FLAIR MR.
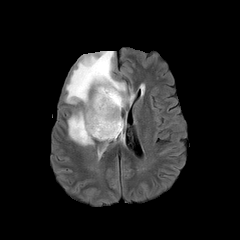
T1-weighted MR.
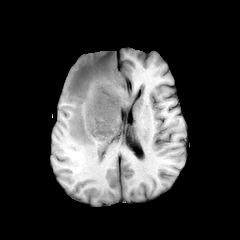
Post-contrast T1-weighted MRI.
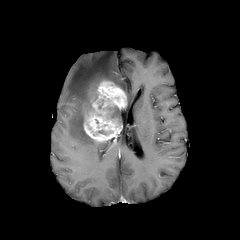
T2-weighted MR.
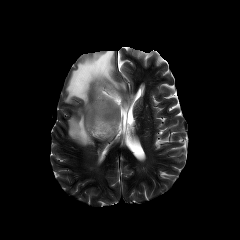
240x240 px. Head.
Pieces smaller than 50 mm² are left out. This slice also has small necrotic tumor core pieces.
Annotated regions:
- peritumoral edema: 65:51:126:145
- enhancing tumor: 83:80:127:141